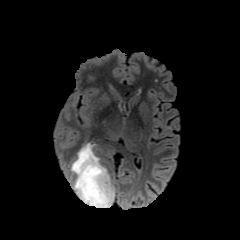
FLAIR MR image.
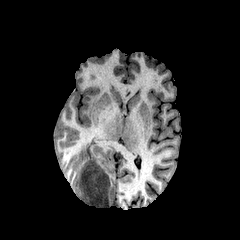
T1-weighted MR image of the same slice.
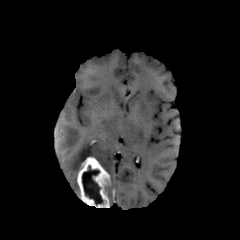
Post-contrast T1-weighted magnetic resonance.
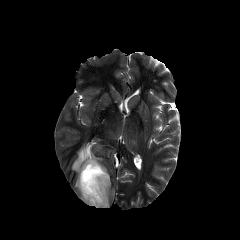
T2-weighted magnetic resonance of the same slice.
Axial view; Head; Image size 240x240
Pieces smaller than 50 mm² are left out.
enhancing_tumor:
  - 77, 157, 110, 207
peritumoral_edema:
  - 73, 178, 79, 195
  - 71, 143, 100, 176
  - 108, 181, 114, 206
necrotic_tumor_core:
  - 82, 166, 103, 204